Brain | 240x240
FLAIR MR image.
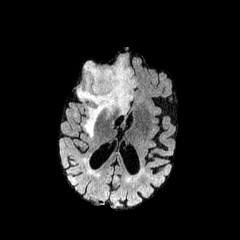
T1-weighted MR image.
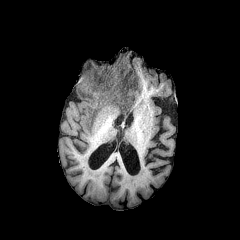
Post-contrast T1-weighted magnetic resonance.
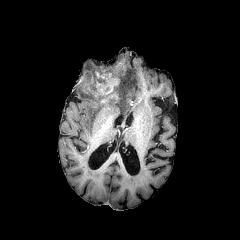
T2-weighted MR image.
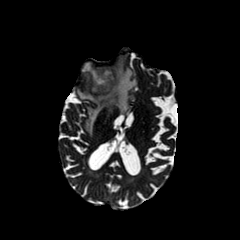
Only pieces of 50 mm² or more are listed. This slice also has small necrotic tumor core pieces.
peritumoral edema: (left=77, top=57, right=136, bottom=136) | enhancing tumor: (left=92, top=61, right=124, bottom=102)